FLAIR MRI.
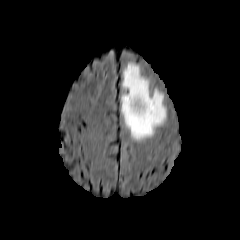
T1-weighted MR.
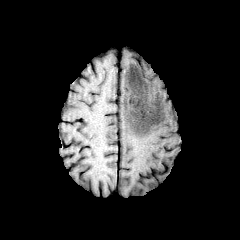
Post-contrast T1-weighted magnetic resonance.
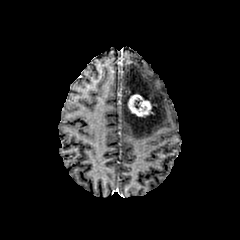
T2-weighted magnetic resonance.
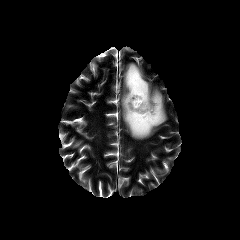
Head | Axial slice | 240x240 px
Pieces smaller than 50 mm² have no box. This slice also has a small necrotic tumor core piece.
{"peritumoral_edema": ["l=121, t=63, r=166, b=140"], "enhancing_tumor": ["l=127, t=94, r=152, b=117"]}